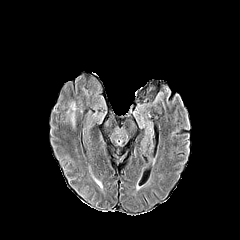
FLAIR MRI.
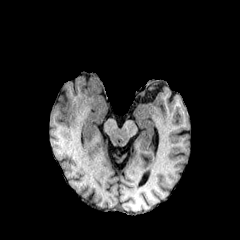
Same slice, T1-weighted MR.
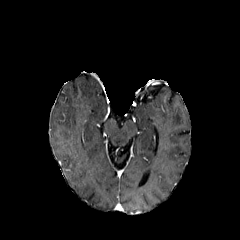
Same slice, post-contrast T1-weighted MR.
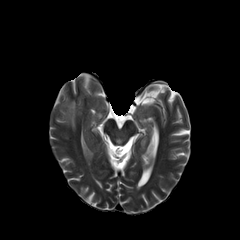
T2-weighted MR image.
Axial slice; Head
peritumoral_edema:
  - 68,102,75,128